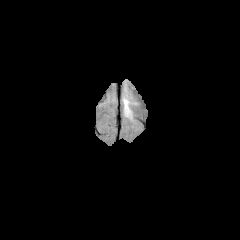
FLAIR MRI.
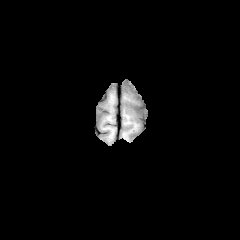
Same slice, T1-weighted MRI.
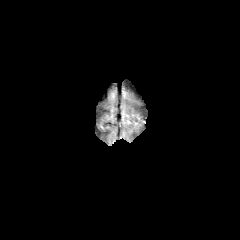
Post-contrast T1-weighted MRI of the same slice.
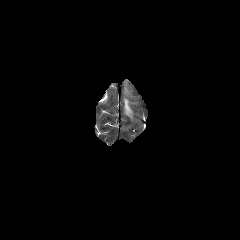
T2-weighted magnetic resonance.
Brain, Axial view
The peritumoral edema is located at (123,84,132,118).